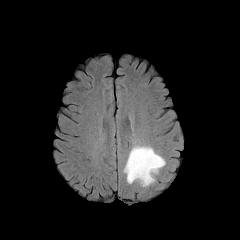
FLAIR magnetic resonance.
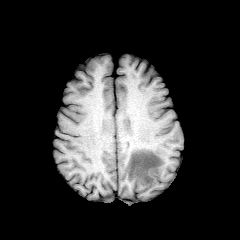
T1-weighted MRI.
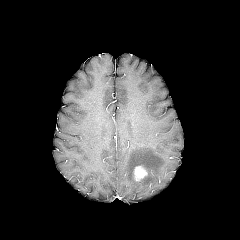
Post-contrast T1-weighted magnetic resonance.
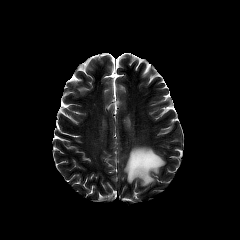
T2-weighted MR of the same slice.
Brain
enhancing tumor: x1=133, y1=166, x2=147, y2=180 | peritumoral edema: x1=123, y1=145, x2=165, y2=186